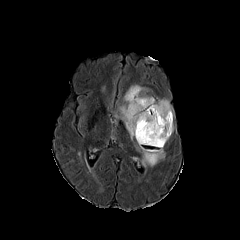
FLAIR MR image.
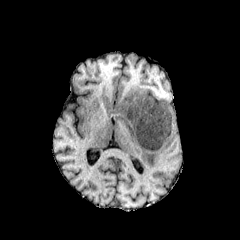
T1-weighted MR.
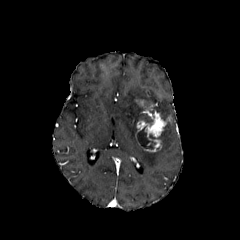
Post-contrast T1-weighted MR image.
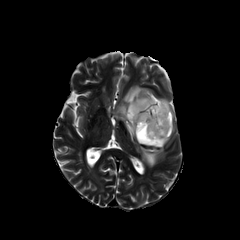
T2-weighted MR image.
240x240, Brain
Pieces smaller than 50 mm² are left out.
{"necrotic_tumor_core": ["rect(137, 127, 155, 148)"], "enhancing_tumor": ["rect(136, 99, 171, 152)"], "peritumoral_edema": ["rect(115, 85, 155, 140)", "rect(136, 99, 173, 166)"]}